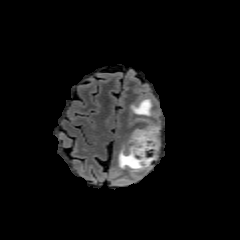
FLAIR magnetic resonance.
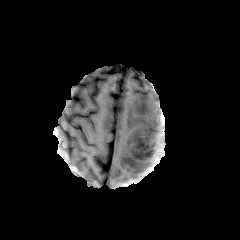
T1-weighted MR.
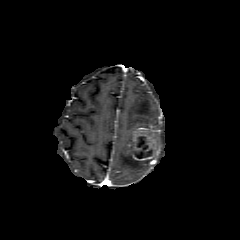
Post-contrast T1-weighted magnetic resonance of the same slice.
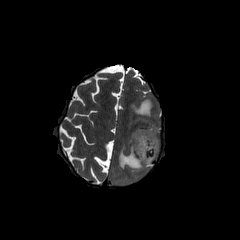
T2-weighted MR image.
240x240
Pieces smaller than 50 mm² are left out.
The enhancing tumor is bounded by (126, 127, 160, 160). The 3 largest peritumoral edema regions are bounded by (118, 145, 153, 173), (130, 117, 159, 130), (130, 98, 159, 120). The necrotic tumor core is located at (132, 138, 152, 158).